Axial view.
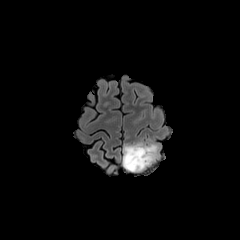
FLAIR MR image.
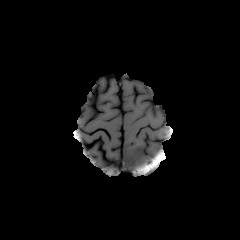
T1-weighted MRI.
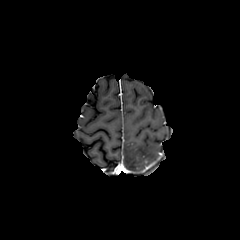
Post-contrast T1-weighted magnetic resonance.
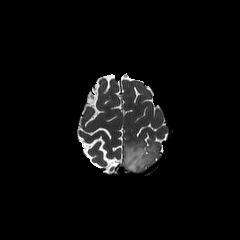
T2-weighted magnetic resonance of the same slice.
<segmentation>
  <peritumoral_edema>left=123, top=141, right=159, bottom=172</peritumoral_edema>
</segmentation>